FLAIR MRI.
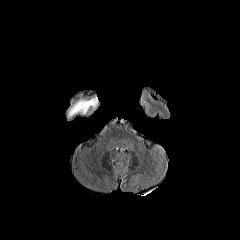
T1-weighted magnetic resonance.
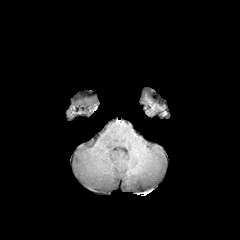
Post-contrast T1-weighted MR image.
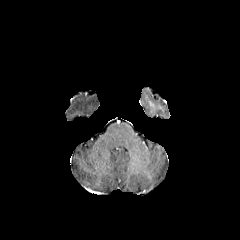
T2-weighted MRI.
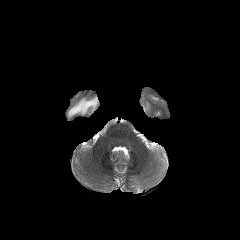
240x240 px; Brain
peritumoral edema: bounding box x1=68, y1=96, x2=98, y2=117